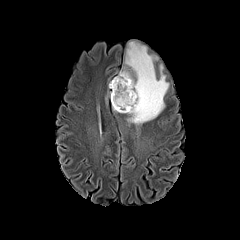
FLAIR magnetic resonance.
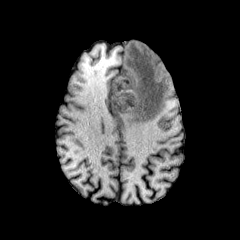
T1-weighted magnetic resonance.
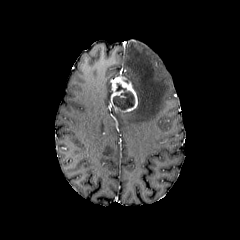
Same slice, post-contrast T1-weighted MRI.
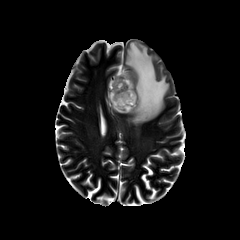
Same slice, T2-weighted MR image.
Axial plane, Head
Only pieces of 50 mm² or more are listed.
• enhancing tumor: box(111, 74, 137, 112)
• necrotic tumor core: box(113, 84, 134, 110)
• peritumoral edema: box(117, 42, 169, 124)